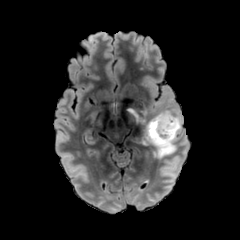
FLAIR MR.
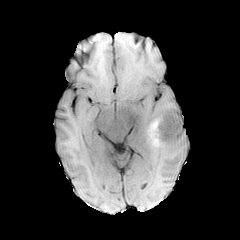
T1-weighted MRI.
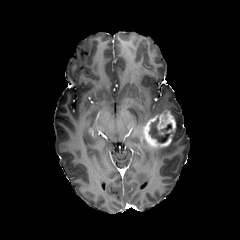
Post-contrast T1-weighted MR.
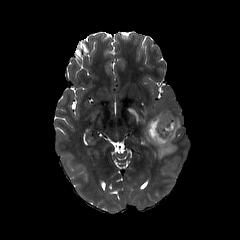
T2-weighted magnetic resonance of the same slice.
Axial view
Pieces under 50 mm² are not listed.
enhancing tumor at 141:111:176:148
peritumoral edema at 153:109:182:159, 126:107:150:125
necrotic tumor core at 149:118:172:143